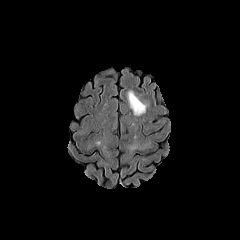
FLAIR MR image.
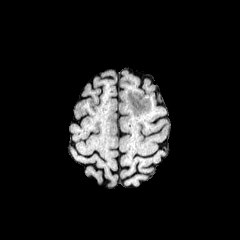
T1-weighted MR.
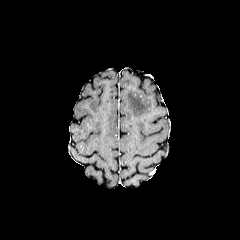
Post-contrast T1-weighted magnetic resonance.
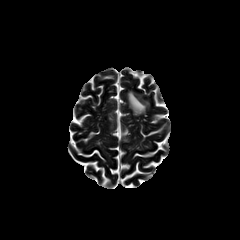
T2-weighted MRI of the same slice.
Brain | 240x240 px
peritumoral edema = l=127, t=90, r=147, b=115